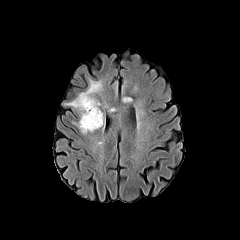
FLAIR MR image.
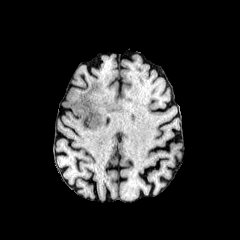
T1-weighted MR image.
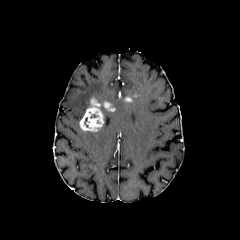
Post-contrast T1-weighted MR.
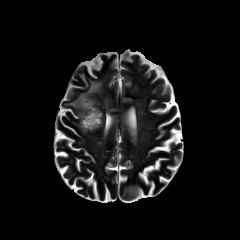
T2-weighted magnetic resonance of the same slice.
Image size 240x240
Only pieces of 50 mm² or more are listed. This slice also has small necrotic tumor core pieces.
{
  "enhancing_tumor": [
    "79:97:115:131"
  ],
  "peritumoral_edema": [
    "66:79:102:119"
  ]
}